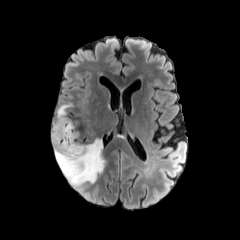
FLAIR MR image.
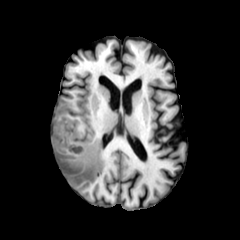
Same slice, T1-weighted MR.
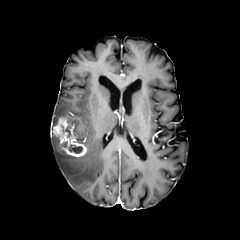
Post-contrast T1-weighted MR image.
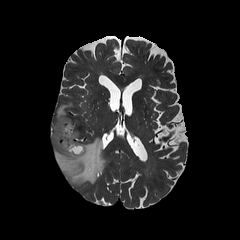
T2-weighted MRI.
Brain
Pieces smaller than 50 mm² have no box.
necrotic tumor core = x1=69 y1=145 x2=82 y2=153
enhancing tumor = x1=53 y1=117 x2=87 y2=157
peritumoral edema = x1=52 y1=102 x2=105 y2=187